Head.
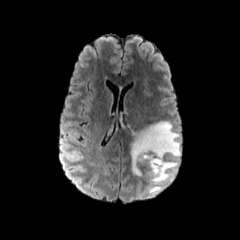
FLAIR magnetic resonance.
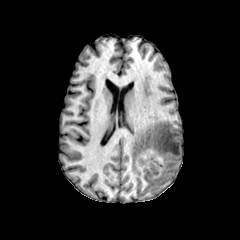
T1-weighted MRI.
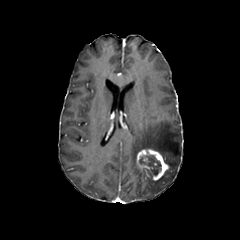
Same slice, post-contrast T1-weighted MR image.
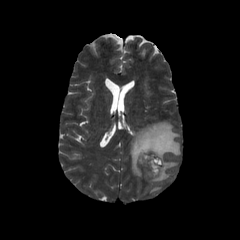
T2-weighted magnetic resonance.
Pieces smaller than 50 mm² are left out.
<segmentation>
  <enhancing_tumor>region(136, 148, 169, 180)</enhancing_tumor>
  <peritumoral_edema>region(127, 121, 180, 195)</peritumoral_edema>
  <necrotic_tumor_core>region(139, 155, 161, 176)</necrotic_tumor_core>
</segmentation>